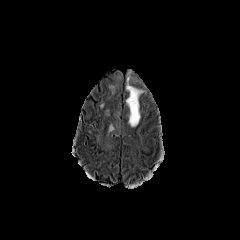
FLAIR MRI.
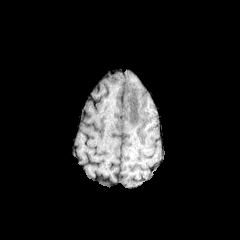
T1-weighted magnetic resonance.
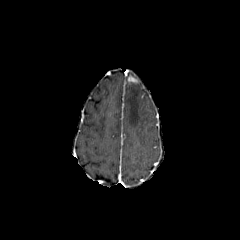
Post-contrast T1-weighted MRI.
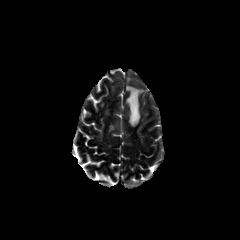
T2-weighted MR.
Brain; Axial slice
enhancing tumor at 127,74,138,83
peritumoral edema at 125,84,144,126